FLAIR magnetic resonance.
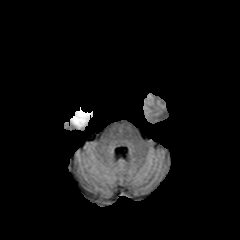
T1-weighted magnetic resonance.
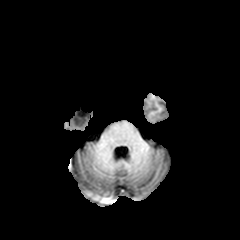
Post-contrast T1-weighted MRI.
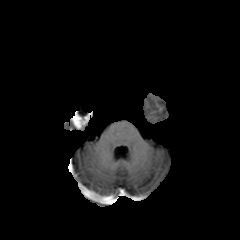
T2-weighted MRI.
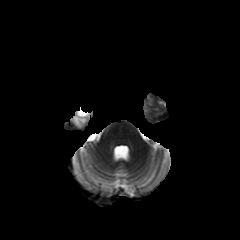
Head
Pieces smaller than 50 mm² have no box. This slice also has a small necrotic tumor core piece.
enhancing_tumor:
  - rect(71, 111, 91, 128)